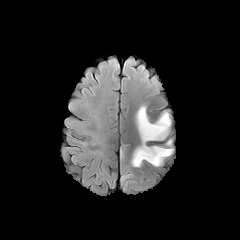
FLAIR MR.
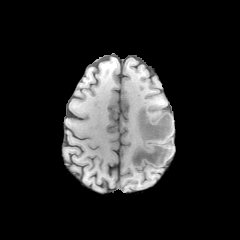
T1-weighted MR image of the same slice.
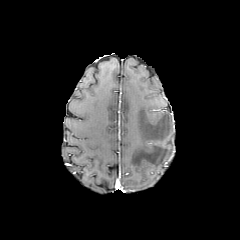
Post-contrast T1-weighted magnetic resonance of the same slice.
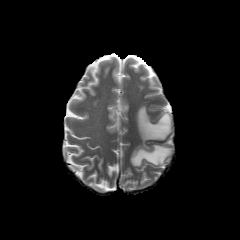
T2-weighted MR image of the same slice.
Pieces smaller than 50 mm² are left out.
<segmentation>
  <peritumoral_edema>rect(131, 106, 172, 166)</peritumoral_edema>
</segmentation>